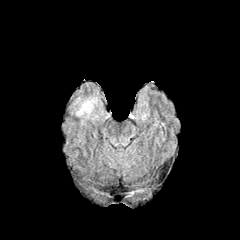
FLAIR MR image.
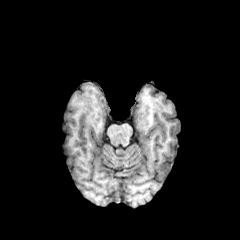
T1-weighted MRI.
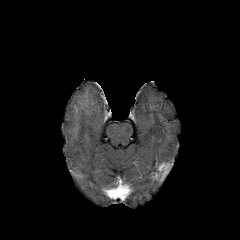
Post-contrast T1-weighted MR image.
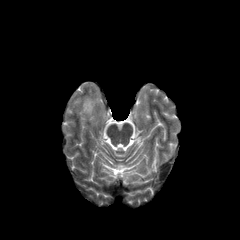
T2-weighted MRI.
Axial plane
peritumoral edema at (73,94,104,124)